Slice 76/155
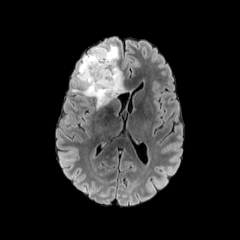
FLAIR MRI.
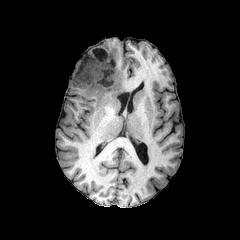
T1-weighted magnetic resonance.
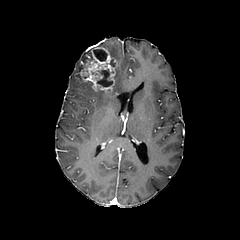
Same slice, post-contrast T1-weighted magnetic resonance.
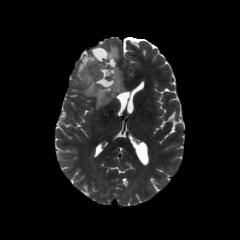
T2-weighted MR.
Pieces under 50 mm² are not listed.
The largest peritumoral edema region lies within region(73, 45, 124, 108). The enhancing tumor appears at region(80, 45, 115, 92). The 2 largest necrotic tumor core regions are located at region(93, 49, 107, 61); region(97, 69, 112, 86).